Slice index 70
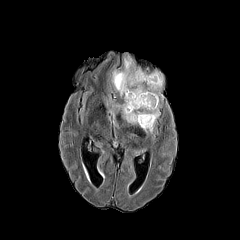
FLAIR MR.
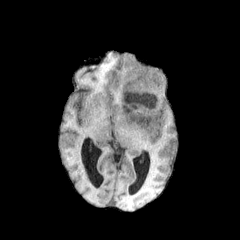
T1-weighted magnetic resonance.
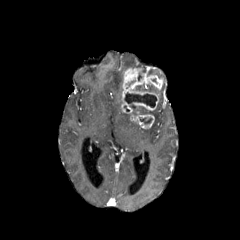
Post-contrast T1-weighted magnetic resonance of the same slice.
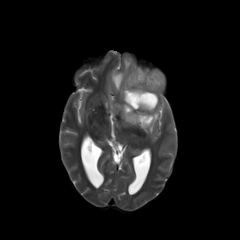
T2-weighted MR image.
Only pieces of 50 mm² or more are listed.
7 peritumoral edema regions are located at 111 69 123 96, 122 112 136 124, 151 69 164 80, 143 103 160 133, 124 54 141 70, 151 88 162 98, 108 100 120 118. The 4 largest necrotic tumor core regions are bounded by 136 84 154 91, 140 117 152 124, 137 106 148 114, 124 92 156 107. The enhancing tumor lies within 121 68 163 128.